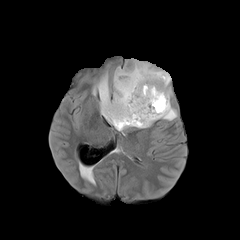
FLAIR magnetic resonance.
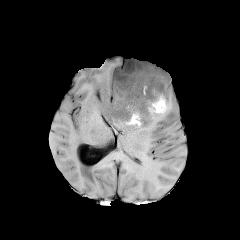
T1-weighted magnetic resonance of the same slice.
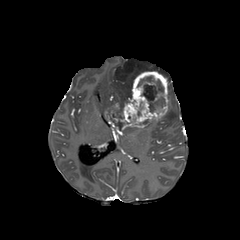
Post-contrast T1-weighted MR of the same slice.
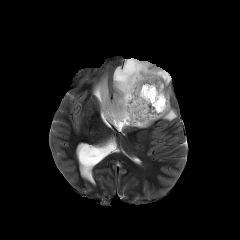
T2-weighted MR image.
Head | 240x240 px
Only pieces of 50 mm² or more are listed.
{
  "enhancing_tumor": [
    "[105, 71, 168, 131]"
  ],
  "peritumoral_edema": [
    "[93, 60, 177, 120]"
  ],
  "necrotic_tumor_core": [
    "[138, 76, 153, 86]",
    "[142, 80, 165, 112]"
  ]
}